Image covers 240 mm x 240 mm. Axial plane.
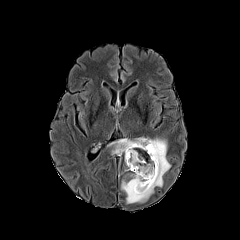
FLAIR MR.
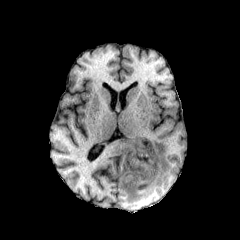
Same slice, T1-weighted magnetic resonance.
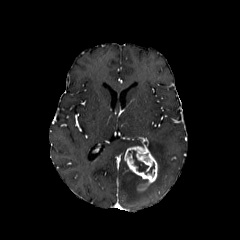
Post-contrast T1-weighted MR image of the same slice.
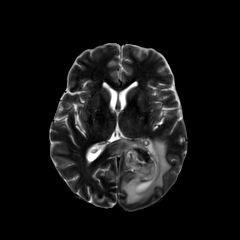
T2-weighted MR of the same slice.
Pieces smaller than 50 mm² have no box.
peritumoral edema: left=121, top=139, right=170, bottom=203; left=112, top=139, right=143, bottom=154
necrotic tumor core: left=128, top=150, right=154, bottom=174
enhancing tumor: left=124, top=138, right=157, bottom=191